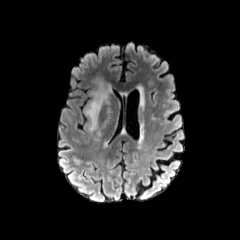
FLAIR MR.
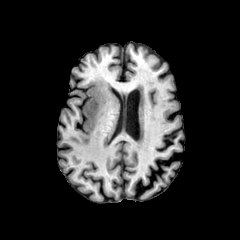
T1-weighted magnetic resonance.
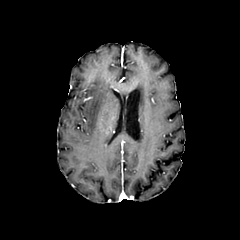
Same slice, post-contrast T1-weighted magnetic resonance.
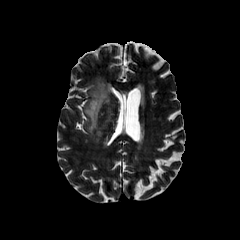
T2-weighted MR.
Head; Axial view
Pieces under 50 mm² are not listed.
The largest peritumoral edema region is located at l=84, t=80, r=111, b=131.